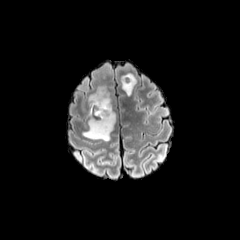
FLAIR MR.
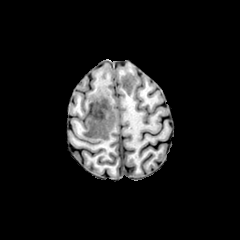
T1-weighted magnetic resonance of the same slice.
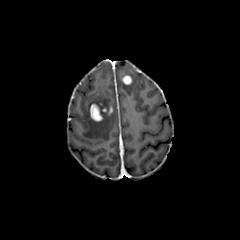
Post-contrast T1-weighted MR.
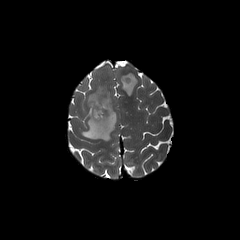
Same slice, T2-weighted magnetic resonance.
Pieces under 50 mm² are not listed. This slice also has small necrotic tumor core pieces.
peritumoral edema = bbox(82, 70, 116, 141); bbox(120, 73, 137, 95)
enhancing tumor = bbox(90, 103, 106, 121); bbox(122, 75, 132, 85)